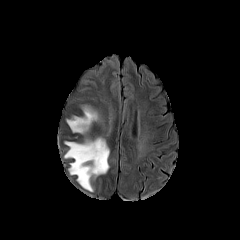
FLAIR magnetic resonance.
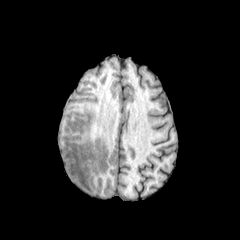
T1-weighted MR.
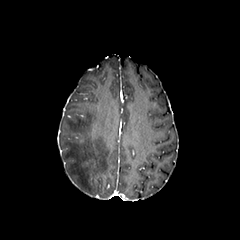
Post-contrast T1-weighted MRI.
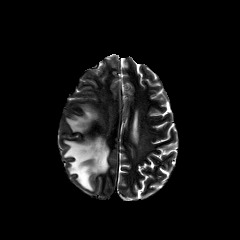
T2-weighted MRI of the same slice.
Brain | 240x240 px | Axial plane
peritumoral edema: x1=64 y1=105 x2=109 y2=191